FLAIR MR.
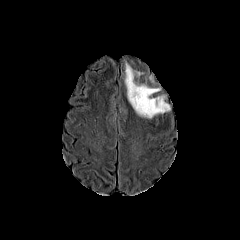
T1-weighted MR image.
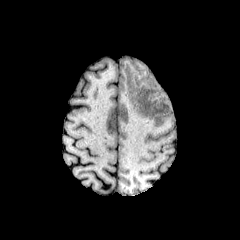
Post-contrast T1-weighted MR image.
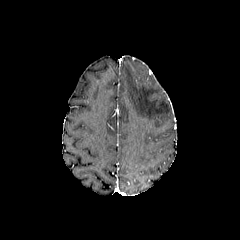
T2-weighted magnetic resonance.
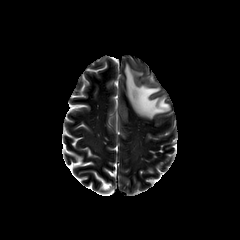
Head
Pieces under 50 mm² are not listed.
The largest peritumoral edema region appears at [125, 64, 170, 118].